FLAIR magnetic resonance.
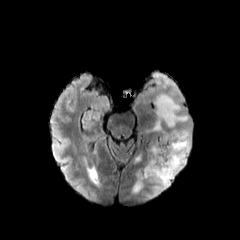
T1-weighted magnetic resonance.
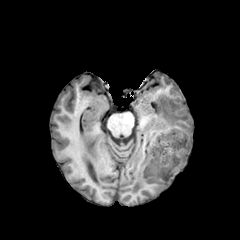
Post-contrast T1-weighted MR image.
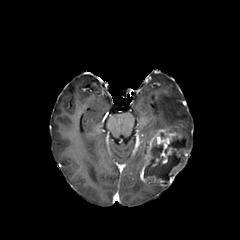
T2-weighted MRI.
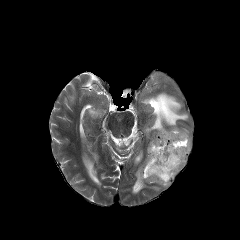
Head. Axial slice. 240x240 px.
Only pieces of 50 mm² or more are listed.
4 peritumoral edema regions are bounded by (134,152,142,163), (147,94,191,149), (151,184,167,192), (131,167,146,193). The 2 largest necrotic tumor core regions are bounded by (144,140,184,184), (165,136,185,154). The largest enhancing tumor region is located at (140,129,190,186).